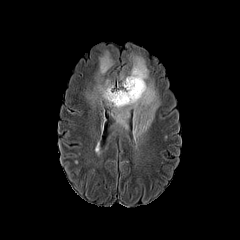
FLAIR MR image.
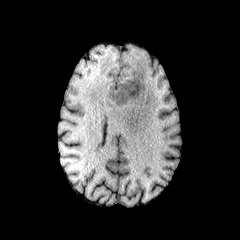
T1-weighted MR image.
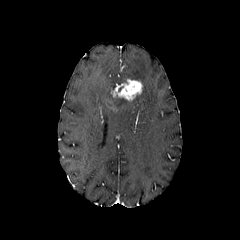
Same slice, post-contrast T1-weighted MRI.
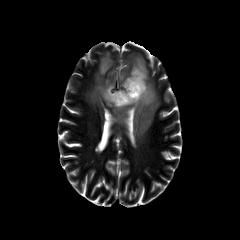
T2-weighted MRI.
Axial view; Brain; 240x240 px
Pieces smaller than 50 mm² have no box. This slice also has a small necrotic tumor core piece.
- peritumoral edema: 99,52,113,74; 90,56,159,141
- enhancing tumor: 110,79,143,101